FLAIR MRI.
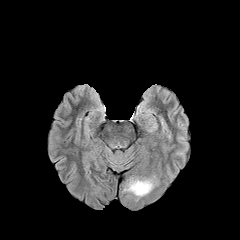
T1-weighted MR image.
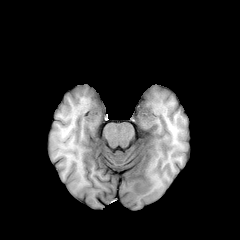
Post-contrast T1-weighted magnetic resonance.
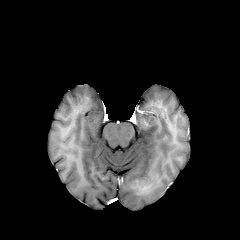
T2-weighted MRI.
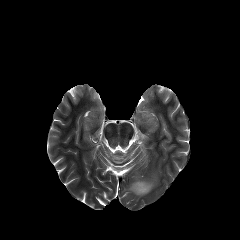
enhancing_tumor:
  - box=[134, 181, 149, 193]
peritumoral_edema:
  - box=[125, 178, 153, 196]